FLAIR MR.
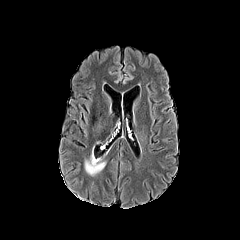
T1-weighted MR image.
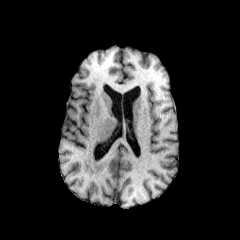
Post-contrast T1-weighted MRI.
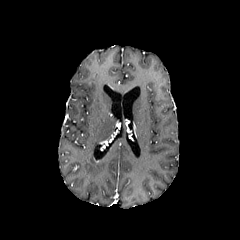
T2-weighted MR image.
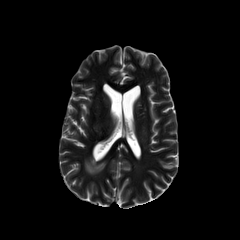
Head | Axial plane | 240x240 px
peritumoral edema: bounding box [x1=85, y1=154, x2=105, y2=175]